Axial slice. Image width 240 mm, 1.00 mm slice spacing. Brain.
FLAIR MR.
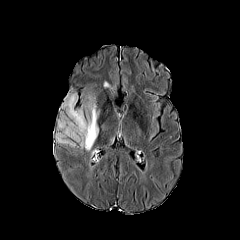
T1-weighted MR.
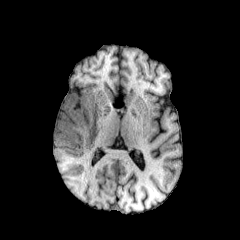
Post-contrast T1-weighted MR.
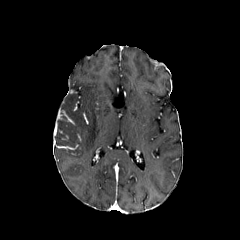
T2-weighted magnetic resonance.
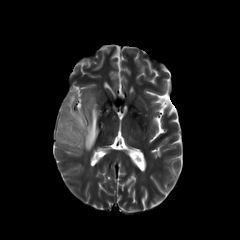
- peritumoral edema: [56, 92, 100, 151], [104, 81, 114, 93]